FLAIR MR image.
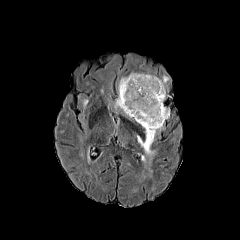
T1-weighted MR.
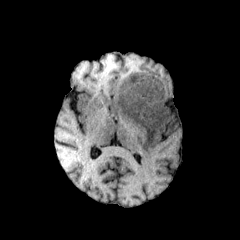
Post-contrast T1-weighted MRI.
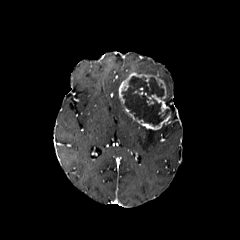
T2-weighted magnetic resonance.
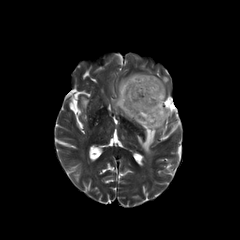
Brain.
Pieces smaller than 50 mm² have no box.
<segmentation>
  <peritumoral_edema>(114,92,122,110), (162,75,169,88), (137,127,162,155)</peritumoral_edema>
  <necrotic_tumor_core>(122,76,169,125)</necrotic_tumor_core>
  <enhancing_tumor>(118,72,170,130)</enhancing_tumor>
</segmentation>